Brain. Slice 86/155. Axial slice.
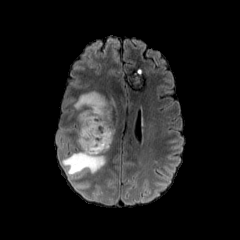
FLAIR MRI.
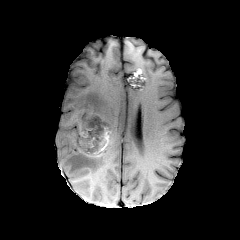
T1-weighted MR.
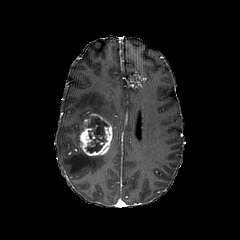
Same slice, post-contrast T1-weighted MR.
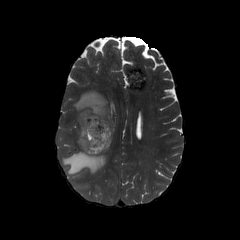
T2-weighted magnetic resonance of the same slice.
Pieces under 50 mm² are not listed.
necrotic tumor core: left=86, top=116, right=107, bottom=152
enhancing tumor: left=79, top=113, right=112, bottom=155
peritumoral edema: left=62, top=149, right=106, bottom=175; left=74, top=91, right=115, bottom=145